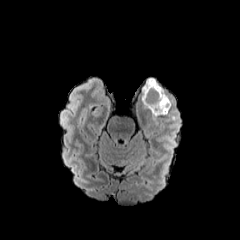
FLAIR MRI.
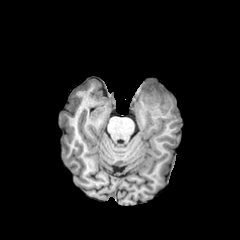
T1-weighted MRI.
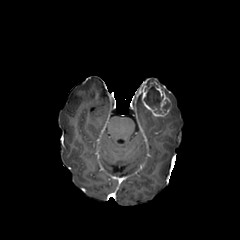
Post-contrast T1-weighted MR image.
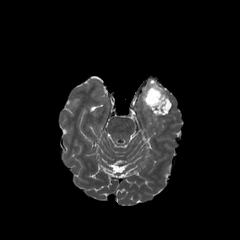
T2-weighted MR image.
Head. 240x240 px.
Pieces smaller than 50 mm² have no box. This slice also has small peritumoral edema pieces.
enhancing tumor at (x1=141, y1=79, x2=170, y2=116)
necrotic tumor core at (x1=144, y1=83, x2=163, y2=113)